Image width 240 mm. Brain. Axial view.
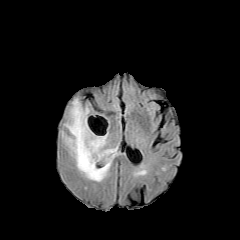
FLAIR MR image.
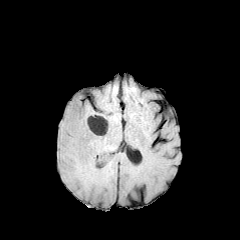
T1-weighted magnetic resonance.
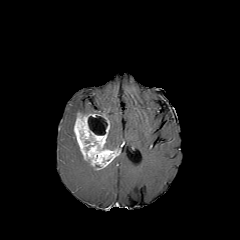
Post-contrast T1-weighted MR.
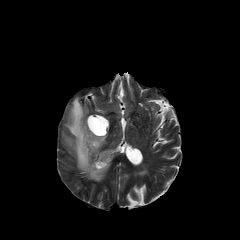
T2-weighted MRI.
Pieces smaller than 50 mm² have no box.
2 peritumoral edema regions are bounded by (left=104, top=137, right=118, bottom=149), (left=62, top=97, right=111, bottom=181). The largest necrotic tumor core region is bounded by (left=88, top=115, right=107, bottom=135). The largest enhancing tumor region is at (left=74, top=112, right=119, bottom=169).